FLAIR MR image.
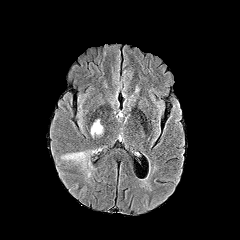
T1-weighted MR image.
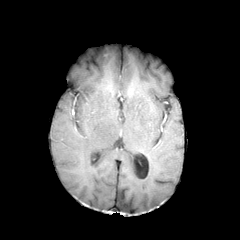
Post-contrast T1-weighted magnetic resonance.
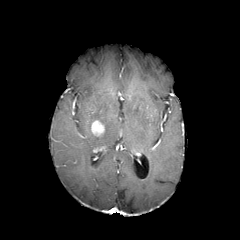
T2-weighted MR image.
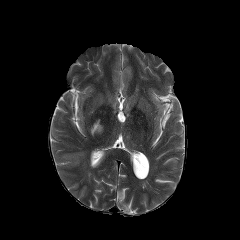
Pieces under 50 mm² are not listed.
Segmented structures:
• peritumoral edema: [63,152,85,160]
• enhancing tumor: [92,121,103,134]